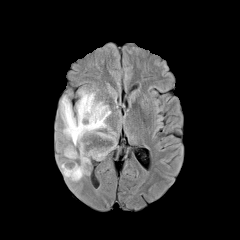
FLAIR MR.
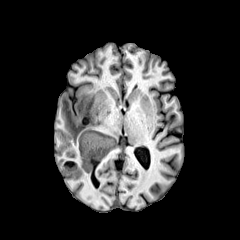
T1-weighted MR image of the same slice.
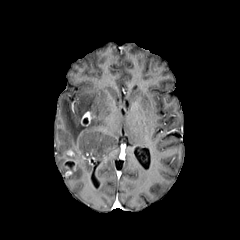
Post-contrast T1-weighted MRI.
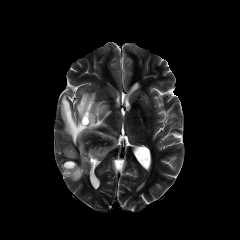
T2-weighted magnetic resonance.
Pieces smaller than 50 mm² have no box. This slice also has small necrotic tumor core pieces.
• peritumoral edema: l=64, t=145, r=77, b=160; l=60, t=89, r=116, b=180
• enhancing tumor: l=81, t=111, r=94, b=125; l=64, t=160, r=76, b=170